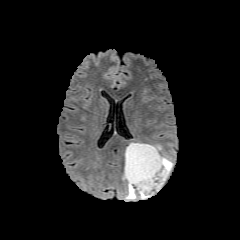
FLAIR MRI.
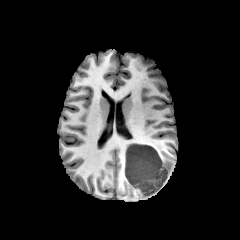
Same slice, T1-weighted magnetic resonance.
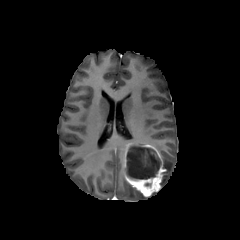
Post-contrast T1-weighted MRI.
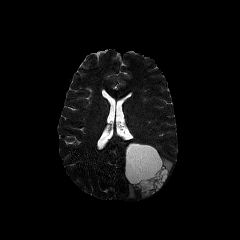
T2-weighted MR of the same slice.
240x240 px. Axial plane.
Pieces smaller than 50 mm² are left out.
{
  "enhancing_tumor": [
    "124 143 166 196"
  ],
  "necrotic_tumor_core": [
    "126 146 160 179"
  ],
  "peritumoral_edema": [
    "126 183 136 199",
    "161 157 173 185"
  ]
}